Brain
FLAIR magnetic resonance.
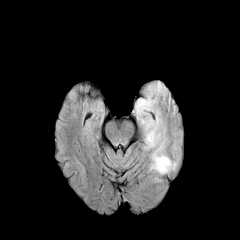
T1-weighted magnetic resonance.
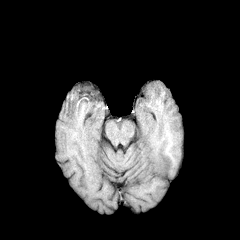
Post-contrast T1-weighted MRI.
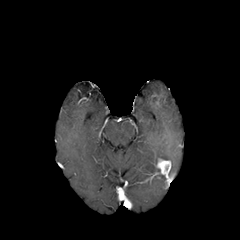
T2-weighted MR image.
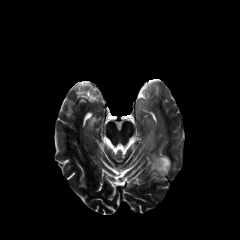
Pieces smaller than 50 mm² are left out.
Annotated regions:
• peritumoral edema: bbox(134, 81, 168, 148); bbox(150, 137, 169, 174)
• enhancing tumor: bbox(156, 158, 171, 174)